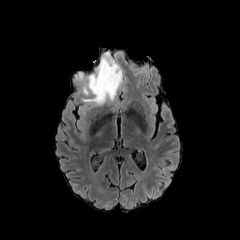
FLAIR MR.
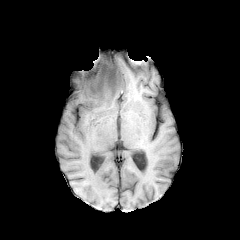
Same slice, T1-weighted MR image.
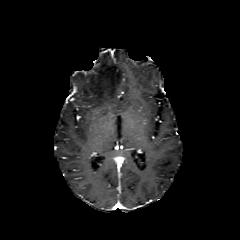
Post-contrast T1-weighted magnetic resonance of the same slice.
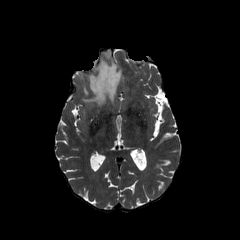
T2-weighted magnetic resonance of the same slice.
240x240 px, Brain
{
  "peritumoral_edema": [
    "box(76, 52, 122, 105)"
  ]
}